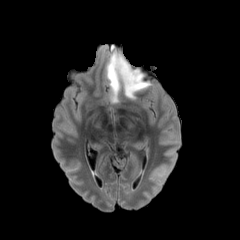
FLAIR magnetic resonance.
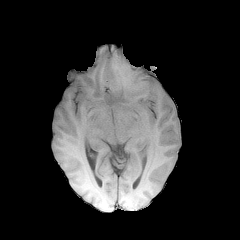
Same slice, T1-weighted magnetic resonance.
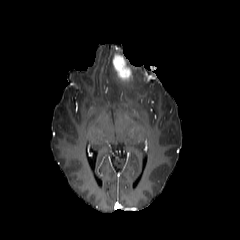
Same slice, post-contrast T1-weighted MR.
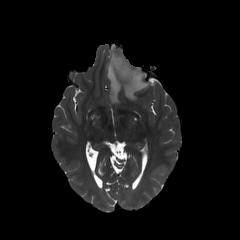
T2-weighted magnetic resonance.
Head
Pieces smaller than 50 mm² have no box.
The largest peritumoral edema region is located at l=106, t=52, r=150, b=102. The enhancing tumor is at l=112, t=54, r=133, b=83.